FLAIR MR image.
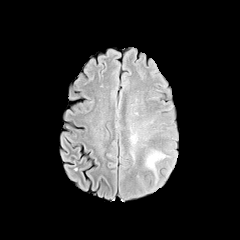
T1-weighted MR.
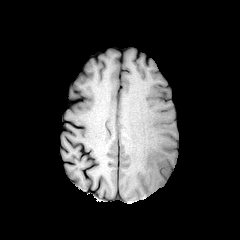
Post-contrast T1-weighted MR image.
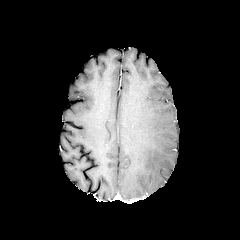
T2-weighted MRI.
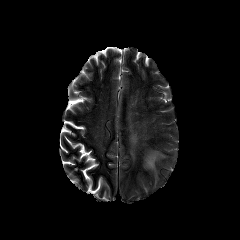
240x240.
2 peritumoral edema regions are located at (128,134,137,161), (145,150,165,176).